FLAIR MR image.
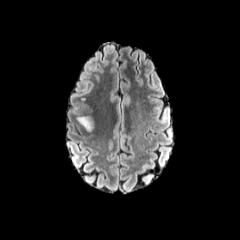
T1-weighted MR.
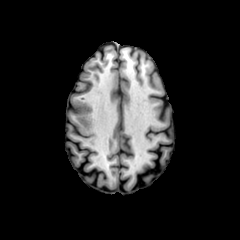
Post-contrast T1-weighted MR.
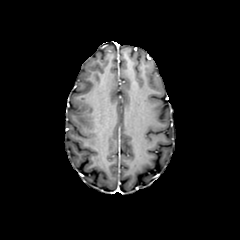
T2-weighted magnetic resonance.
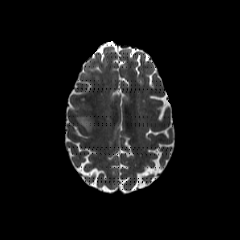
240x240 px. Axial slice.
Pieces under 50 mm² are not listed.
peritumoral_edema:
  - rect(76, 113, 99, 132)